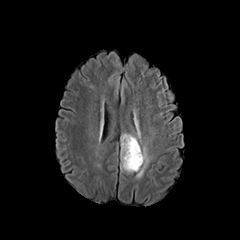
FLAIR MR image.
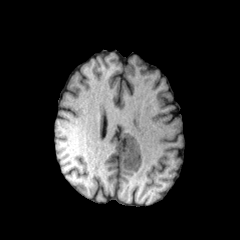
Same slice, T1-weighted MRI.
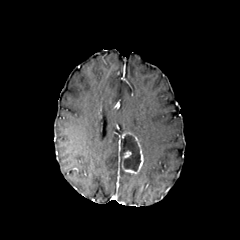
Post-contrast T1-weighted MR.
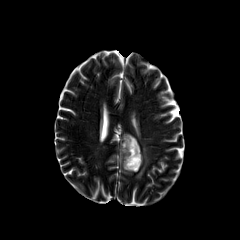
T2-weighted magnetic resonance of the same slice.
Axial view
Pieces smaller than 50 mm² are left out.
Findings:
• necrotic tumor core: left=121, top=134, right=140, bottom=171
• enhancing tumor: left=122, top=132, right=143, bottom=174
• peritumoral edema: left=136, top=145, right=149, bottom=178